Axial plane, Slice 64 of 155
FLAIR MR image.
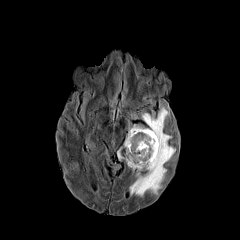
T1-weighted magnetic resonance.
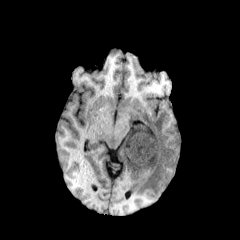
Post-contrast T1-weighted magnetic resonance.
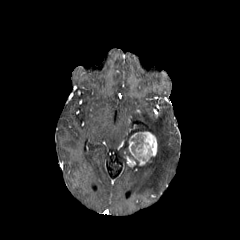
T2-weighted magnetic resonance.
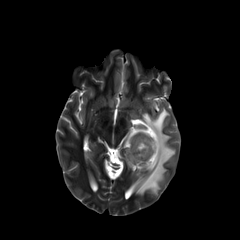
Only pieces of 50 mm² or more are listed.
The largest peritumoral edema region is located at [x1=124, y1=107, x2=175, y2=196]. 2 enhancing tumor regions are located at [x1=128, y1=131, x2=157, y2=165], [x1=126, y1=156, x2=136, y2=167].